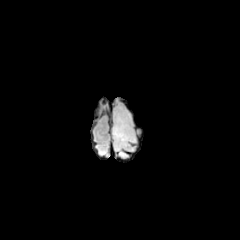
FLAIR magnetic resonance.
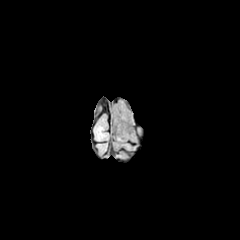
T1-weighted MR image of the same slice.
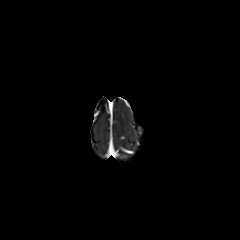
Same slice, post-contrast T1-weighted MR image.
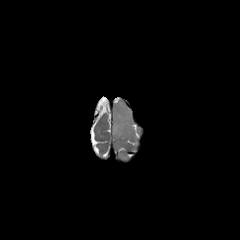
T2-weighted magnetic resonance.
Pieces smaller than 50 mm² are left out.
Segmented structures:
* peritumoral edema: x1=113, y1=105, x2=133, y2=148